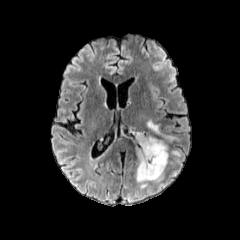
FLAIR MRI.
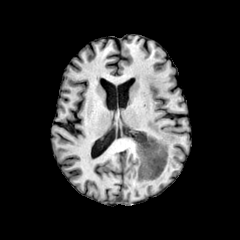
Same slice, T1-weighted MR.
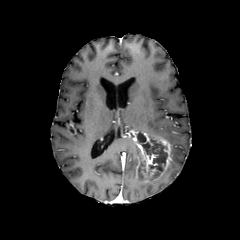
Same slice, post-contrast T1-weighted MR.
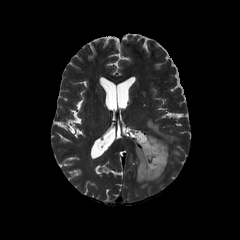
T2-weighted MR image of the same slice.
Axial plane
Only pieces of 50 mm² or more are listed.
{"necrotic_tumor_core": ["[138,162,145,178]", "[138,134,167,176]"], "peritumoral_edema": ["[171,150,181,156]", "[147,120,178,142]"], "enhancing_tumor": ["[136,132,171,182]"]}